Slice index 82. Head. 240x240. Image width 240 mm, 1.00 mm slice spacing. Axial slice.
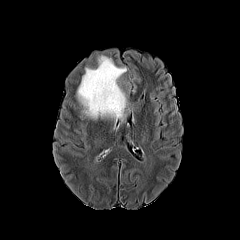
FLAIR MR image.
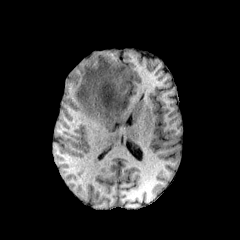
Same slice, T1-weighted MRI.
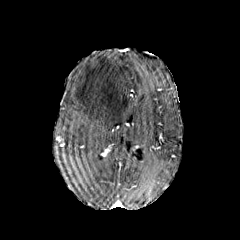
Post-contrast T1-weighted MR image of the same slice.
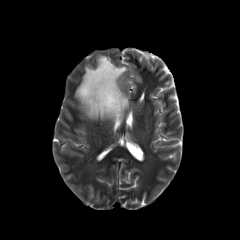
T2-weighted magnetic resonance.
peritumoral edema: [76,55,126,123]